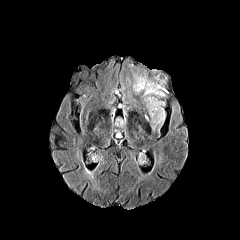
FLAIR MR image.
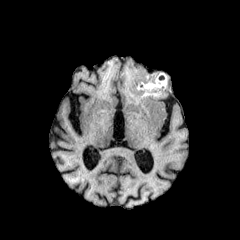
T1-weighted MRI.
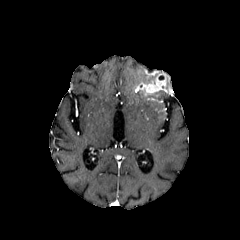
Post-contrast T1-weighted MR of the same slice.
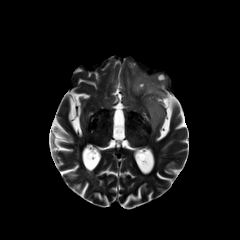
T2-weighted magnetic resonance.
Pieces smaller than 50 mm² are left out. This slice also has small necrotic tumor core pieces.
The 2 largest peritumoral edema regions appear at 129,71,156,90; 143,90,165,131. The largest enhancing tumor region is located at 134,73,167,94.